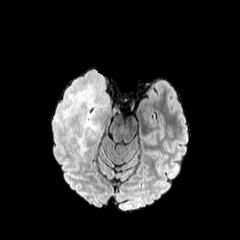
FLAIR magnetic resonance.
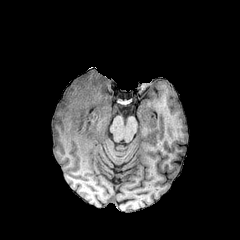
T1-weighted MR of the same slice.
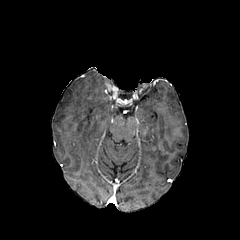
Post-contrast T1-weighted MR of the same slice.
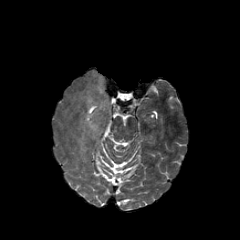
T2-weighted MR of the same slice.
The peritumoral edema appears at l=54, t=70, r=117, b=151.